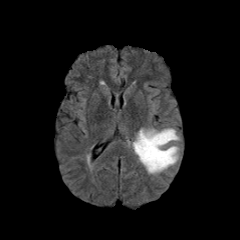
FLAIR MR image.
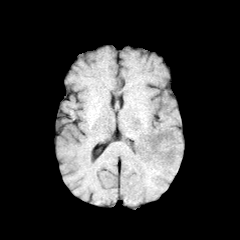
Same slice, T1-weighted MRI.
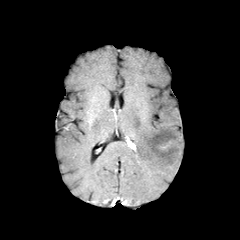
Same slice, post-contrast T1-weighted MRI.
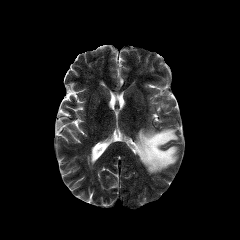
T2-weighted MR.
240x240. Axial plane.
Annotated regions:
- peritumoral edema: (x1=134, y1=128, x2=179, y2=174)